FLAIR MRI.
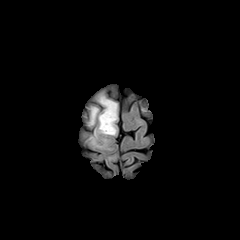
T1-weighted MRI.
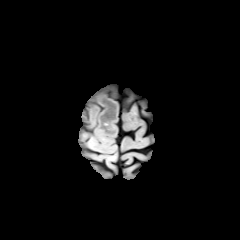
Post-contrast T1-weighted MR.
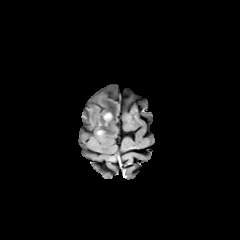
T2-weighted magnetic resonance.
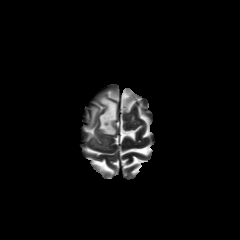
Brain; 240x240
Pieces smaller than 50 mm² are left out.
Segmented structures:
* peritumoral edema: (88, 93, 117, 146)
* enhancing tumor: (103, 112, 112, 120)